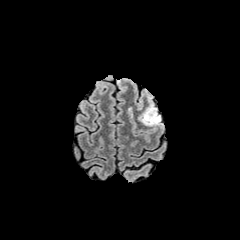
FLAIR MRI.
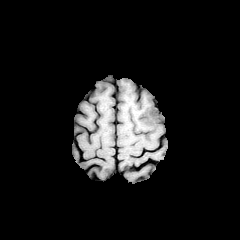
Same slice, T1-weighted MR.
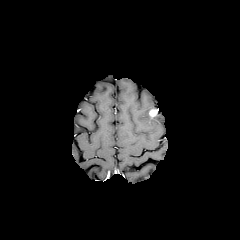
Post-contrast T1-weighted MRI.
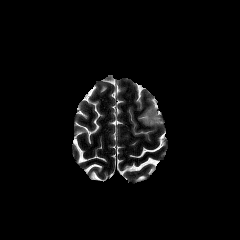
T2-weighted magnetic resonance.
240x240 | Axial view
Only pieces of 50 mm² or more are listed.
Findings:
* peritumoral edema: l=138, t=95, r=163, b=130
* enhancing tumor: l=149, t=109, r=157, b=118